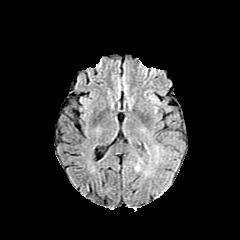
FLAIR magnetic resonance.
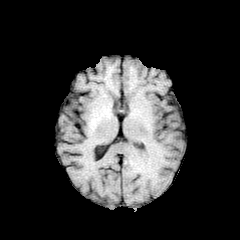
Same slice, T1-weighted MRI.
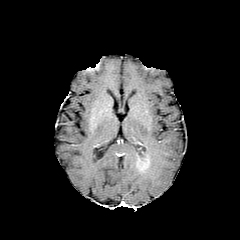
Post-contrast T1-weighted MRI of the same slice.
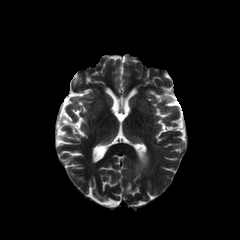
T2-weighted MR image.
Head
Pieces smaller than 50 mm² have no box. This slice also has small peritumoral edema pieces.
enhancing tumor = [138, 159, 146, 169]